240x240.
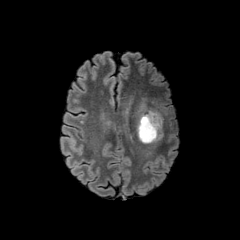
FLAIR MRI.
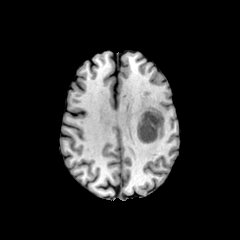
T1-weighted MR.
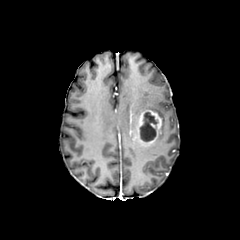
Post-contrast T1-weighted MR of the same slice.
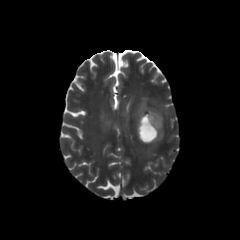
T2-weighted magnetic resonance of the same slice.
enhancing tumor: rect(137, 110, 161, 143)
peritumoral edema: rect(140, 103, 162, 141)
necrotic tumor core: rect(140, 112, 157, 141)